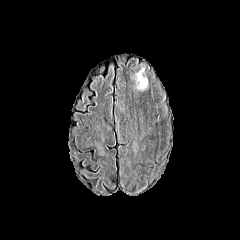
FLAIR MR image.
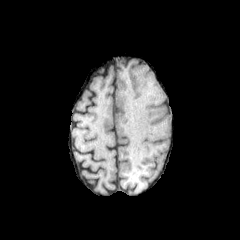
T1-weighted magnetic resonance of the same slice.
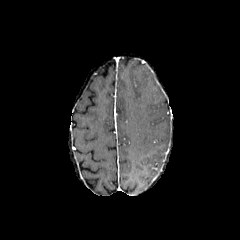
Post-contrast T1-weighted MR image.
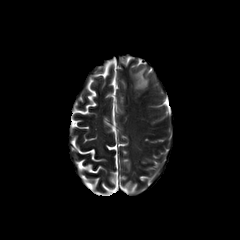
Same slice, T2-weighted MRI.
Image size 240x240. Head.
peritumoral edema: <bbox>137, 69, 147, 88</bbox>